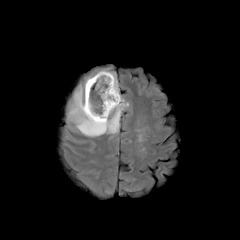
FLAIR magnetic resonance.
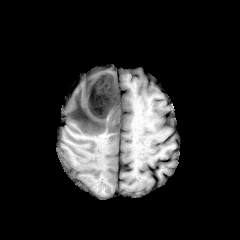
Same slice, T1-weighted MR.
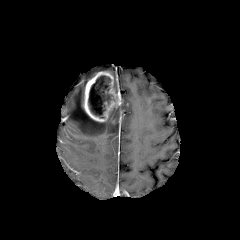
Same slice, post-contrast T1-weighted MR.
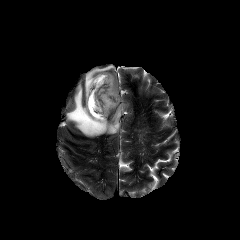
Same slice, T2-weighted MR image.
Axial slice; Head
* enhancing tumor: left=83, top=71, right=122, bottom=122
* peritumoral edema: left=64, top=66, right=128, bottom=136
* necrotic tumor core: left=88, top=83, right=103, bottom=117